Axial view | Slice 47 of 155
FLAIR MR image.
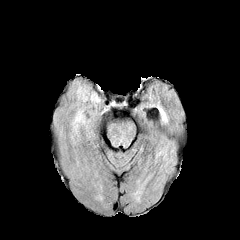
T1-weighted MRI.
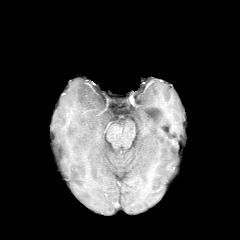
Post-contrast T1-weighted MR image.
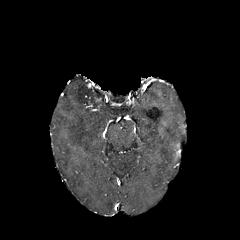
T2-weighted magnetic resonance.
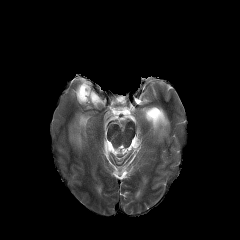
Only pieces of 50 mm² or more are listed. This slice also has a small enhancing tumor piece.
peritumoral_edema:
  - region(77, 86, 98, 103)
  - region(74, 114, 85, 124)